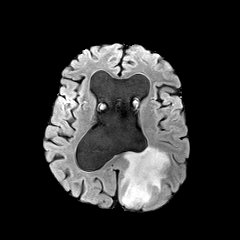
FLAIR magnetic resonance.
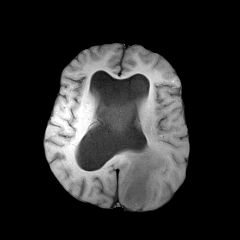
T1-weighted magnetic resonance.
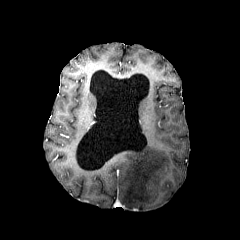
Same slice, post-contrast T1-weighted MRI.
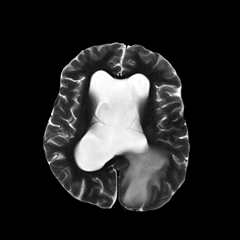
Same slice, T2-weighted MR.
peritumoral edema: bounding box {"x1": 120, "y1": 146, "x2": 168, "y2": 206}